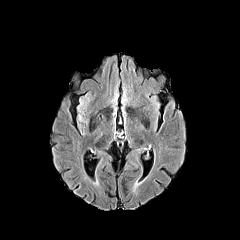
FLAIR MR.
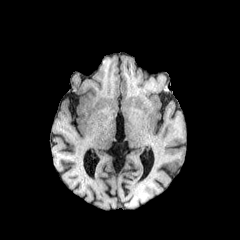
T1-weighted MR.
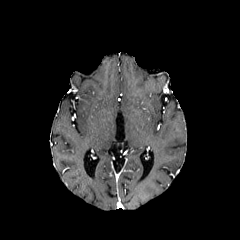
Post-contrast T1-weighted magnetic resonance.
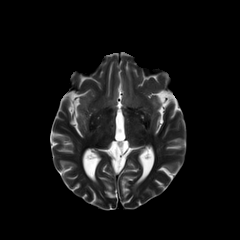
T2-weighted magnetic resonance.
240x240 px; Brain
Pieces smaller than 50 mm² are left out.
The largest peritumoral edema region appears at left=79, top=99, right=88, bottom=112.